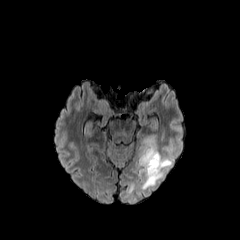
FLAIR MR.
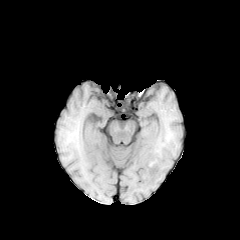
Same slice, T1-weighted MR image.
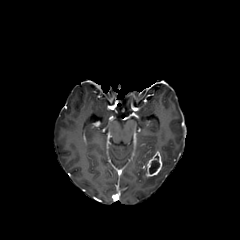
Post-contrast T1-weighted MRI.
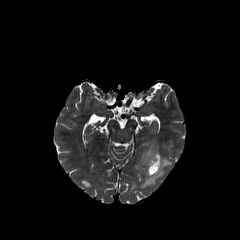
T2-weighted MR.
240x240 px. Head.
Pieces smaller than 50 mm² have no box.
{
  "enhancing_tumor": [
    "142:151:162:177"
  ],
  "necrotic_tumor_core": [
    "149:160:159:173"
  ],
  "peritumoral_edema": [
    "135:138:172:188"
  ]
}